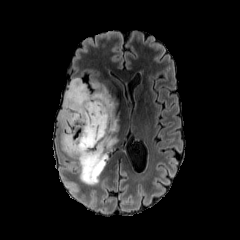
FLAIR MR image.
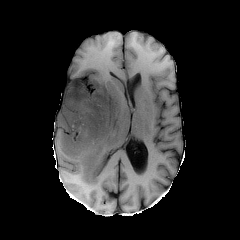
T1-weighted MR of the same slice.
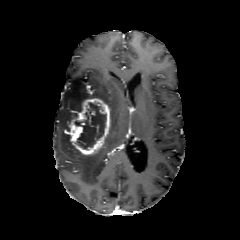
Post-contrast T1-weighted MRI.
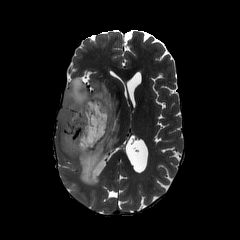
T2-weighted MR image.
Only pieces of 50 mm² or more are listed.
The largest enhancing tumor region appears at <bbox>67, 98, 110, 155</bbox>. The necrotic tumor core is bounded by <bbox>75, 103, 105, 148</bbox>. The peritumoral edema is bounded by <bbox>58, 78, 119, 185</bbox>.